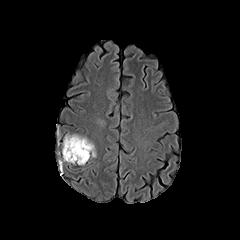
FLAIR magnetic resonance.
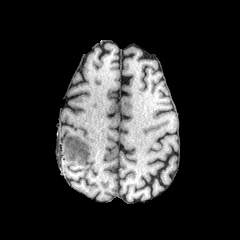
T1-weighted MR.
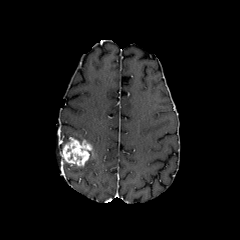
Post-contrast T1-weighted magnetic resonance.
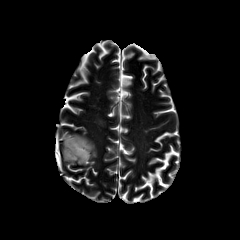
T2-weighted MRI of the same slice.
240x240 px
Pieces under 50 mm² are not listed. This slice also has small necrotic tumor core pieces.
peritumoral edema: l=63, t=134, r=96, b=157 | enhancing tumor: l=61, t=137, r=93, b=165